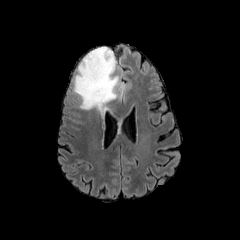
FLAIR magnetic resonance.
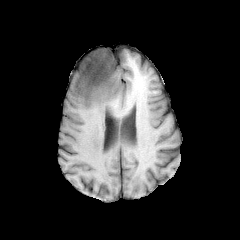
Same slice, T1-weighted magnetic resonance.
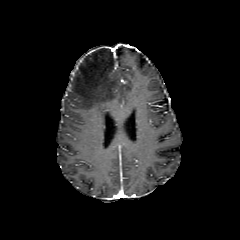
Post-contrast T1-weighted magnetic resonance.
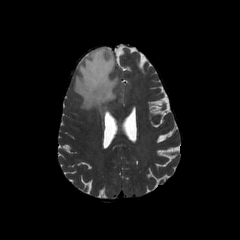
T2-weighted MR image.
240x240.
peritumoral edema: (left=73, top=47, right=123, bottom=118)